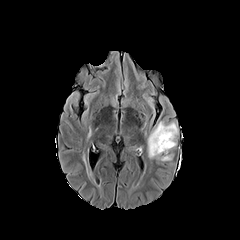
FLAIR MR image.
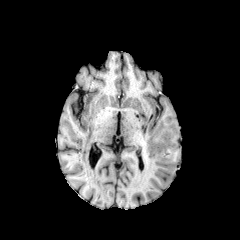
Same slice, T1-weighted MR image.
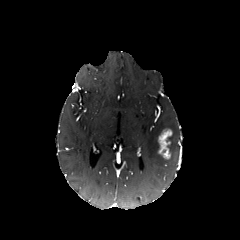
Post-contrast T1-weighted MR.
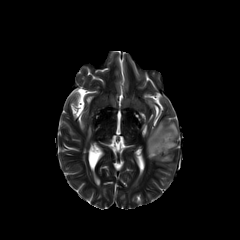
T2-weighted MRI.
Axial slice, 240x240
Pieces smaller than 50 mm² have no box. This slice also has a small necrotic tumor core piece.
* peritumoral edema: {"x1": 148, "y1": 121, "x2": 178, "y2": 161}
* enhancing tumor: {"x1": 158, "y1": 128, "x2": 172, "y2": 159}